Head | Image size 240x240
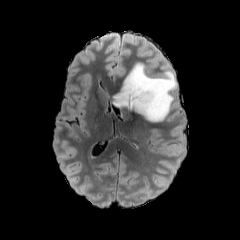
FLAIR MR image.
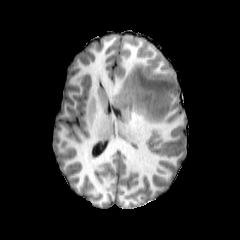
Same slice, T1-weighted MRI.
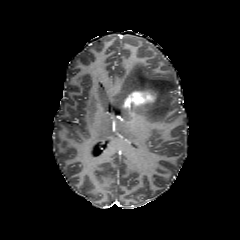
Post-contrast T1-weighted MR.
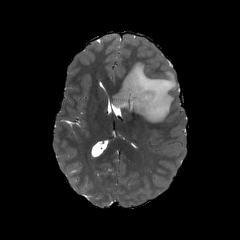
T2-weighted magnetic resonance.
peritumoral_edema:
  - (112,62,177,122)
  - (151,60,158,67)
enhancing_tumor:
  - (122,90,155,108)